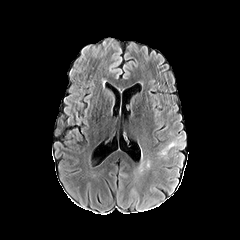
FLAIR MR.
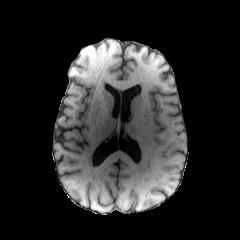
T1-weighted MR.
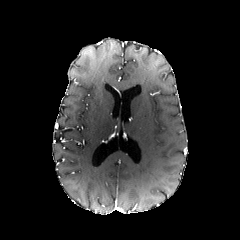
Post-contrast T1-weighted MRI.
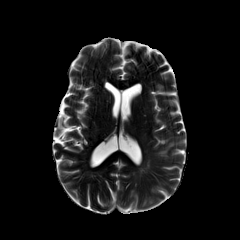
T2-weighted magnetic resonance.
Axial slice. 240x240. Brain.
The peritumoral edema is located at (x1=157, y1=141, x2=176, y2=159).